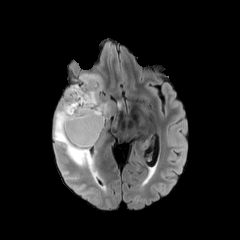
FLAIR magnetic resonance.
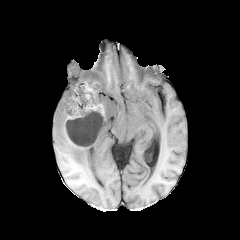
Same slice, T1-weighted MRI.
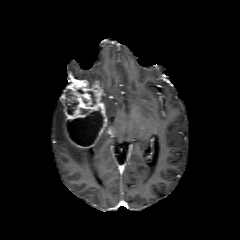
Post-contrast T1-weighted MR image.
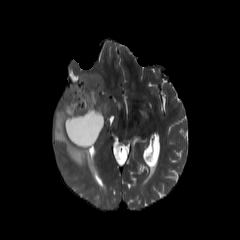
T2-weighted MRI.
Axial slice
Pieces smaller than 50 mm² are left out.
The enhancing tumor is at (left=63, top=78, right=107, bottom=148). The 3 largest necrotic tumor core regions are bounded by (left=87, top=91, right=95, bottom=104), (left=65, top=94, right=78, bottom=114), (left=66, top=109, right=103, bottom=146). The 2 largest peritumoral edema regions are bounded by (left=78, top=74, right=102, bottom=88), (left=54, top=103, right=93, bottom=170).